Slice 46/155 | Axial plane | 240x240 px
FLAIR MR image.
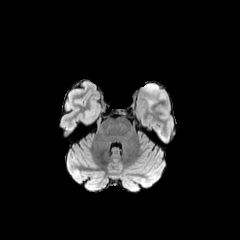
T1-weighted magnetic resonance.
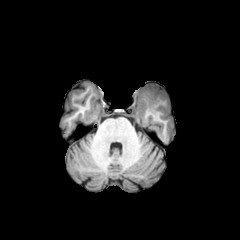
Post-contrast T1-weighted magnetic resonance.
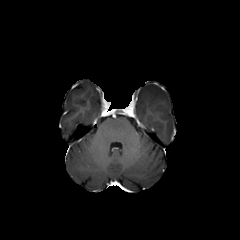
T2-weighted MR image.
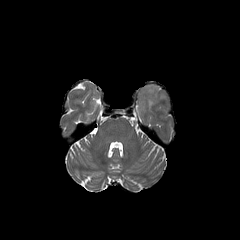
peritumoral edema = box(144, 84, 165, 113)